240x240; Brain; Image width 240 mm
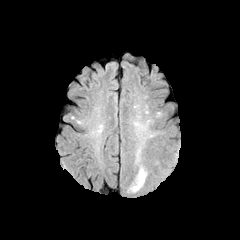
FLAIR MR image.
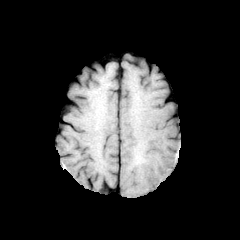
Same slice, T1-weighted magnetic resonance.
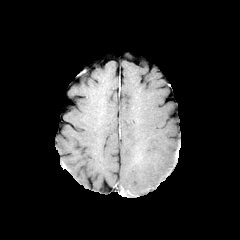
Post-contrast T1-weighted MR.
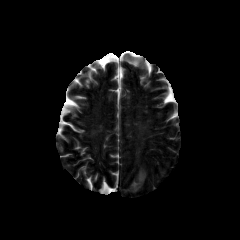
T2-weighted MR image of the same slice.
peritumoral edema: l=130, t=167, r=147, b=192